FLAIR MR image.
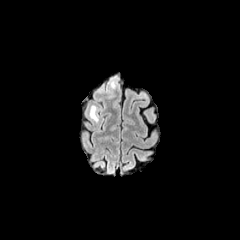
T1-weighted magnetic resonance.
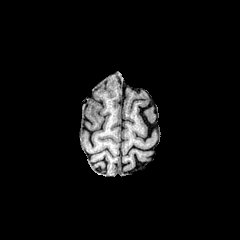
Post-contrast T1-weighted MRI.
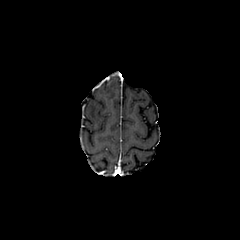
T2-weighted MRI.
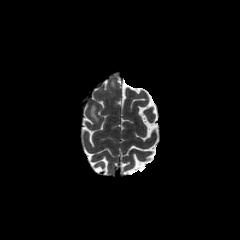
Head | Axial plane
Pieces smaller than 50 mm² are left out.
peritumoral edema: bbox(90, 106, 98, 121)